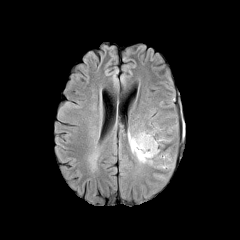
FLAIR magnetic resonance.
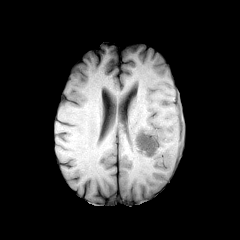
T1-weighted magnetic resonance.
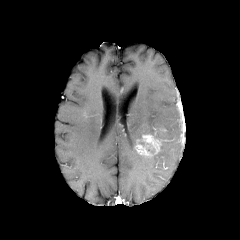
Same slice, post-contrast T1-weighted MR image.
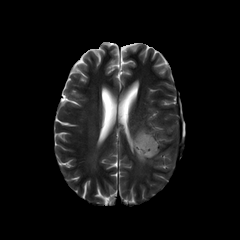
T2-weighted magnetic resonance.
Brain; Axial plane
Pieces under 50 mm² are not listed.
The 3 largest peritumoral edema regions are located at [158,136,171,142], [128,130,156,164], [156,165,170,169]. The enhancing tumor lies within [135,134,160,156].